Slice 92 of 155, 240x240, Head
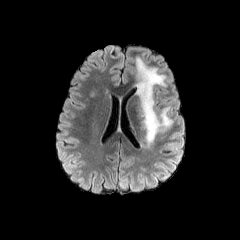
FLAIR magnetic resonance.
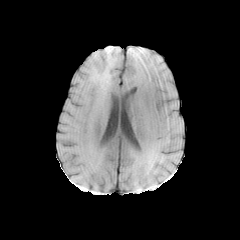
T1-weighted magnetic resonance of the same slice.
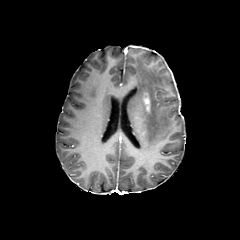
Post-contrast T1-weighted MR image of the same slice.
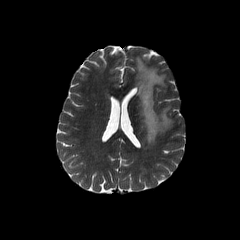
T2-weighted magnetic resonance of the same slice.
The peritumoral edema is at <box>136,57,172,145</box>. The enhancing tumor lies within <box>142,92,150,112</box>.